240x240; Brain; Axial plane
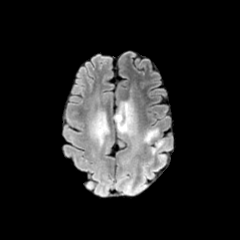
FLAIR magnetic resonance.
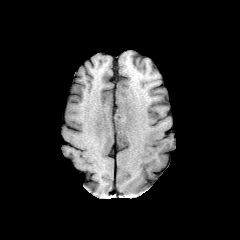
T1-weighted MRI of the same slice.
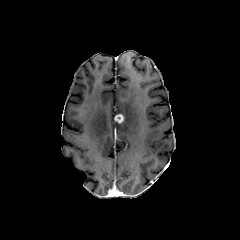
Same slice, post-contrast T1-weighted MRI.
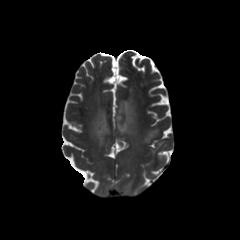
T2-weighted MRI.
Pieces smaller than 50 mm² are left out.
The 3 largest peritumoral edema regions appear at 116 98 136 136, 144 129 158 143, 90 99 109 145. The enhancing tumor is located at 114 114 123 123.